Image covers 240 mm x 240 mm
FLAIR MR.
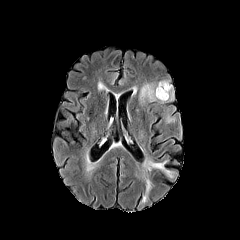
T1-weighted MRI.
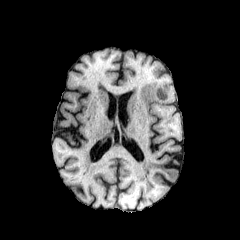
Post-contrast T1-weighted MR.
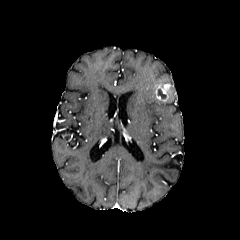
T2-weighted magnetic resonance.
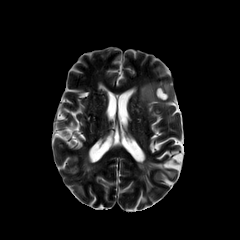
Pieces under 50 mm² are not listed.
* necrotic tumor core: bbox(158, 89, 166, 98)
* peritumoral edema: bbox(139, 81, 168, 103); bbox(167, 86, 173, 101); bbox(165, 114, 175, 121)
* enhancing tumor: bbox(154, 83, 171, 101)